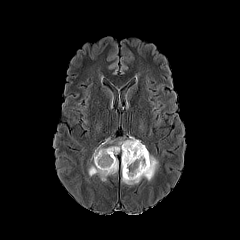
FLAIR MR image.
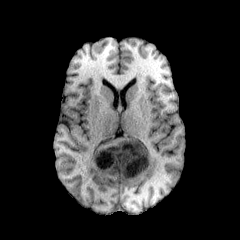
Same slice, T1-weighted MRI.
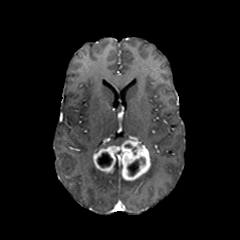
Same slice, post-contrast T1-weighted magnetic resonance.
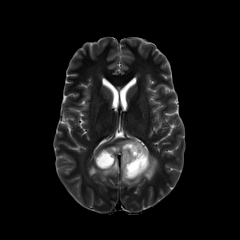
T2-weighted MR.
240x240 px
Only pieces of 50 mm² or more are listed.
The 2 largest necrotic tumor core regions appear at 97:152:112:167, 127:157:144:175. The enhancing tumor is located at 93:138:150:180. The 2 largest peritumoral edema regions appear at 121:155:158:185, 88:160:118:181.